240x240. Image width 240 mm, 1.00 mm slice spacing. Slice 97 of 155.
FLAIR magnetic resonance.
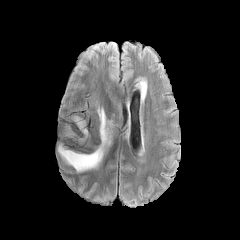
T1-weighted magnetic resonance.
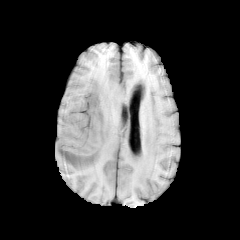
Post-contrast T1-weighted MRI.
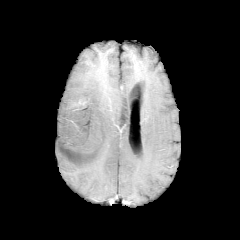
T2-weighted MR image.
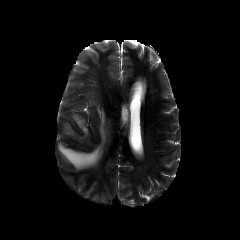
peritumoral_edema:
  - l=73, t=115, r=88, b=136
  - l=66, t=126, r=73, b=135
  - l=58, t=107, r=110, b=171